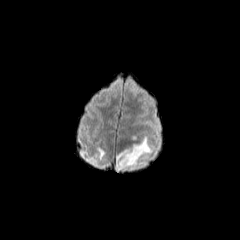
FLAIR MR image.
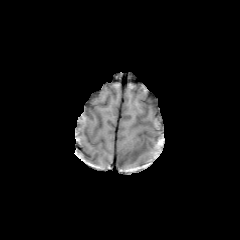
T1-weighted magnetic resonance of the same slice.
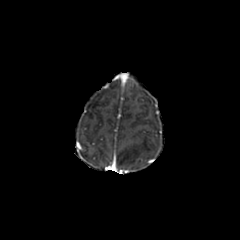
Post-contrast T1-weighted MRI.
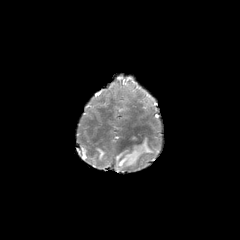
T2-weighted MRI.
Axial view
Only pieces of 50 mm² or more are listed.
peritumoral edema at box=[97, 147, 104, 159]; box=[117, 136, 151, 170]; box=[87, 157, 97, 165]